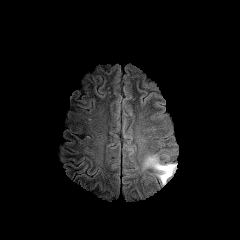
FLAIR MR.
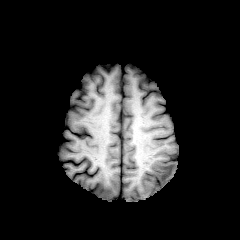
Same slice, T1-weighted magnetic resonance.
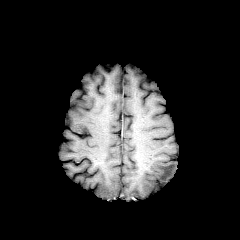
Post-contrast T1-weighted MR image of the same slice.
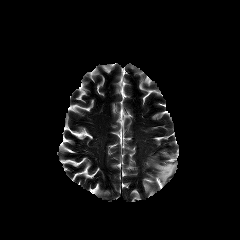
T2-weighted MR.
Axial plane | Brain | 240x240
Segmented structures:
* peritumoral edema: bbox=[147, 158, 176, 184]